FLAIR MRI.
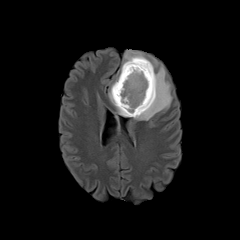
T1-weighted MR image.
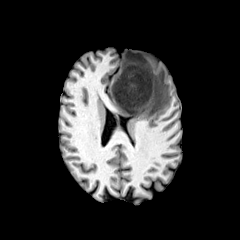
Post-contrast T1-weighted MR image.
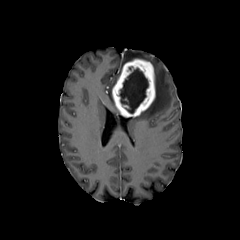
T2-weighted MR.
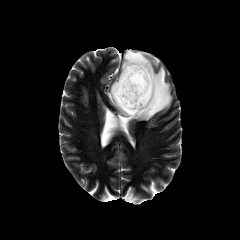
Axial slice
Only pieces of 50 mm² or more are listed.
<segmentation>
  <necrotic_tumor_core>(119, 68, 148, 113)</necrotic_tumor_core>
  <enhancing_tumor>(112, 58, 155, 117)</enhancing_tumor>
  <peritumoral_edema>(122, 50, 158, 68), (134, 66, 172, 120), (109, 80, 116, 105)</peritumoral_edema>
</segmentation>